Brain. Image width 240 mm, 1.00 mm slice spacing. Axial view.
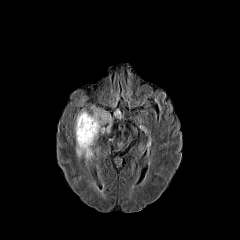
FLAIR MRI.
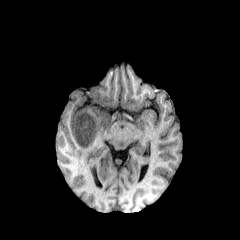
T1-weighted MR of the same slice.
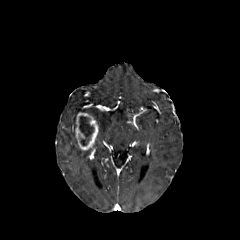
Post-contrast T1-weighted magnetic resonance.
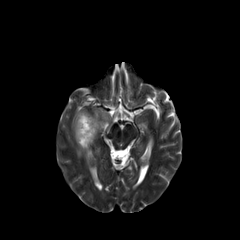
T2-weighted MR.
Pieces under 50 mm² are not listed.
<segmentation>
  <enhancing_tumor>rect(75, 112, 98, 150)</enhancing_tumor>
  <peritumoral_edema>rect(92, 111, 106, 123); rect(76, 143, 90, 158)</peritumoral_edema>
  <necrotic_tumor_core>rect(79, 116, 93, 145)</necrotic_tumor_core>
</segmentation>